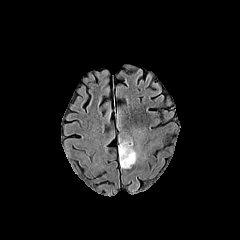
FLAIR MR image.
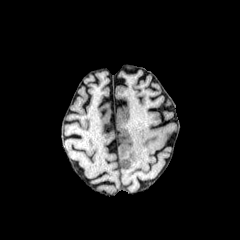
Same slice, T1-weighted MR image.
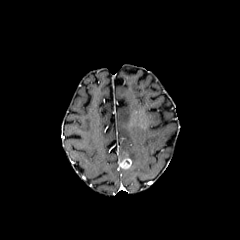
Post-contrast T1-weighted magnetic resonance of the same slice.
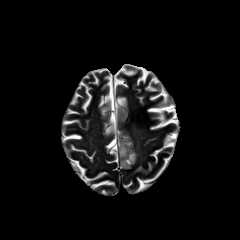
T2-weighted MR image.
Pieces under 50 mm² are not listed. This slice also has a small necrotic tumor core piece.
enhancing tumor — left=119, top=157, right=131, bottom=169
peritumoral edema — left=119, top=140, right=137, bottom=164